Brain
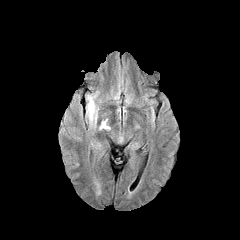
FLAIR MR.
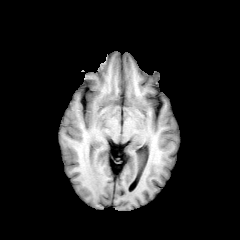
T1-weighted MR of the same slice.
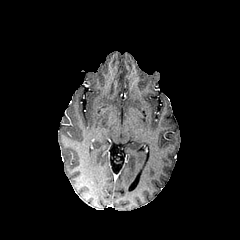
Same slice, post-contrast T1-weighted MRI.
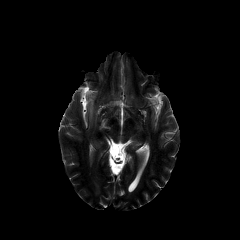
Same slice, T2-weighted MR.
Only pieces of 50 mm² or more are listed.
peritumoral edema: bounding box box(88, 97, 94, 121)